Axial plane. Slice 91 of 155.
FLAIR MR image.
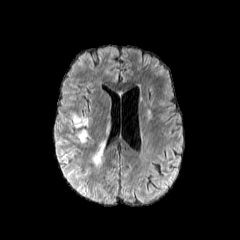
T1-weighted MR image.
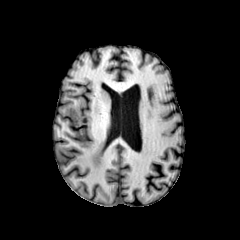
Post-contrast T1-weighted MRI.
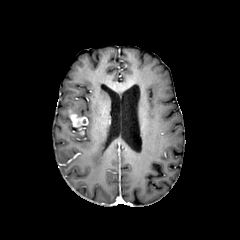
T2-weighted MRI.
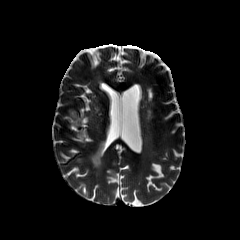
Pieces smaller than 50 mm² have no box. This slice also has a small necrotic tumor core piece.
Findings:
- enhancing tumor: 69:111:87:126
- peritumoral edema: 78:130:86:142, 92:143:104:166